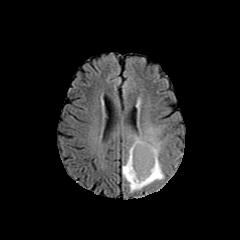
FLAIR MR.
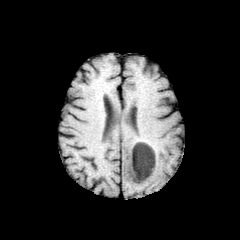
T1-weighted MR.
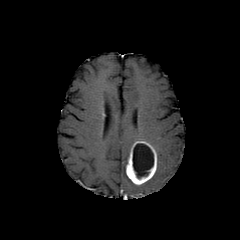
Post-contrast T1-weighted MR of the same slice.
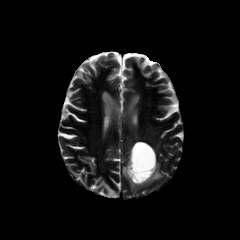
T2-weighted MRI of the same slice.
enhancing tumor — x1=126, y1=141, x2=156, y2=185
necrotic tumor core — x1=133, y1=143, x2=153, y2=178
peritumoral edema — x1=122, y1=127, x2=164, y2=192